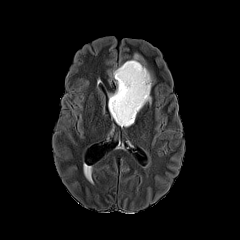
FLAIR MR image.
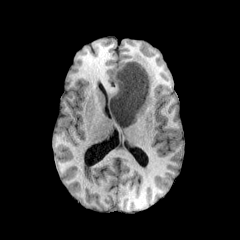
T1-weighted MR of the same slice.
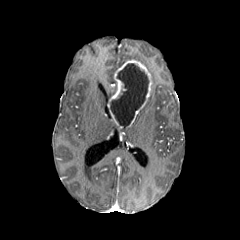
Post-contrast T1-weighted MRI.
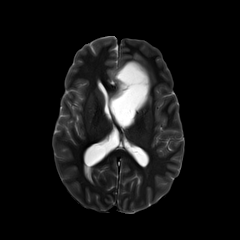
Same slice, T2-weighted magnetic resonance.
Axial slice
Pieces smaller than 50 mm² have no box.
peritumoral edema: <bbox>131, 53, 145, 65</bbox> | enhancing tumor: <bbox>108, 60, 151, 126</bbox> | necrotic tumor core: <bbox>110, 63, 149, 127</bbox>